FLAIR MR.
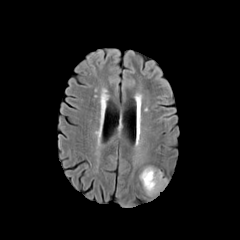
T1-weighted MR image.
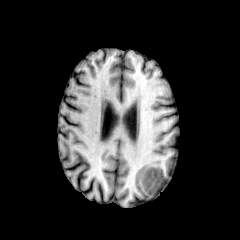
Post-contrast T1-weighted MRI.
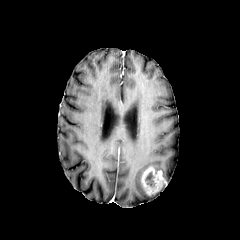
T2-weighted MR image.
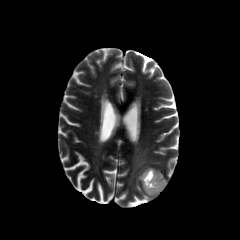
Brain; Image size 240x240
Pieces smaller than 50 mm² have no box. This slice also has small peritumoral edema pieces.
enhancing tumor — <bbox>141, 166, 167, 195</bbox>
necrotic tumor core — <bbox>145, 172, 154, 186</bbox>